FLAIR MRI.
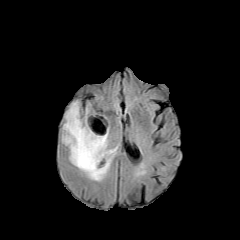
T1-weighted MR.
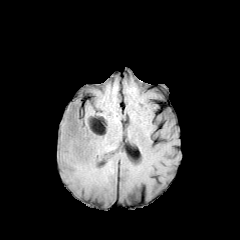
Post-contrast T1-weighted MR image.
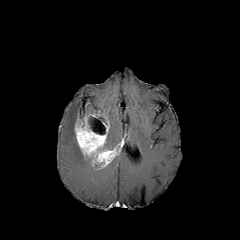
T2-weighted MR image.
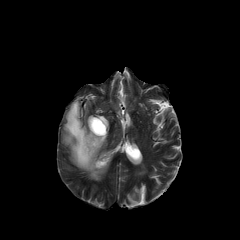
Head
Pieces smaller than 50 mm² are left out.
peritumoral_edema:
  - (102, 132, 113, 149)
  - (62, 100, 110, 180)
enhancing_tumor:
  - (74, 114, 117, 168)
necrotic_tumor_core:
  - (88, 115, 105, 134)